FLAIR magnetic resonance.
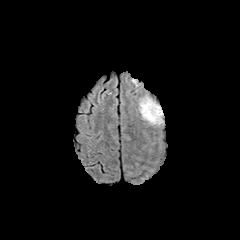
T1-weighted MRI.
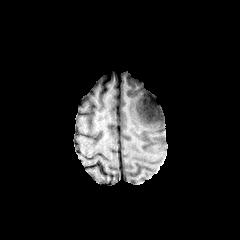
Post-contrast T1-weighted MR.
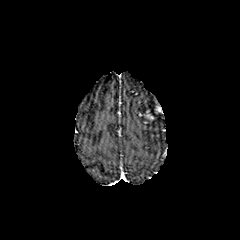
T2-weighted MRI.
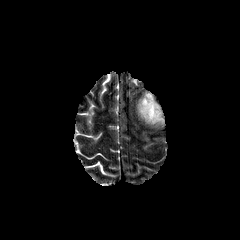
Brain, 240x240 px
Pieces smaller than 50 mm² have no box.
enhancing tumor: 144,99,162,114; 142,109,155,121 | peritumoral edema: 139,95,162,124